Slice index 40, Axial plane, Brain
FLAIR MRI.
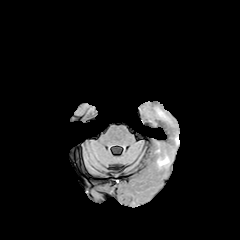
T1-weighted MR image.
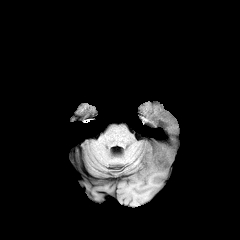
Post-contrast T1-weighted MR image.
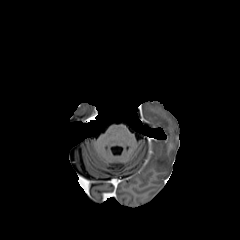
T2-weighted MRI.
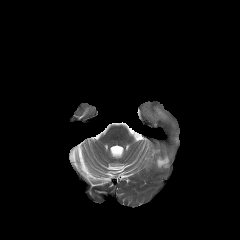
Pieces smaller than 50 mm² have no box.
<segmentation>
  <peritumoral_edema>box=[157, 155, 169, 167]; box=[157, 109, 165, 118]</peritumoral_edema>
</segmentation>